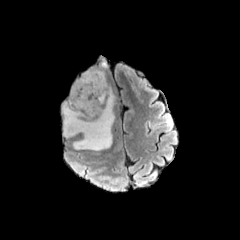
FLAIR magnetic resonance.
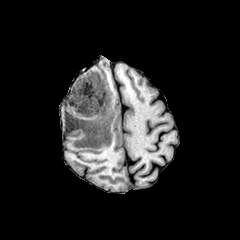
T1-weighted MR.
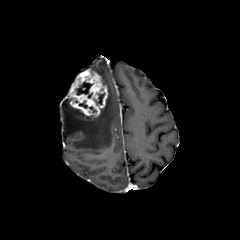
Same slice, post-contrast T1-weighted MR.
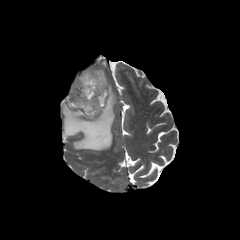
T2-weighted magnetic resonance.
Head
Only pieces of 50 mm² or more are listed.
The 2 largest peritumoral edema regions are bounded by x1=95 y1=71 x2=106 y2=84, x1=62 y1=89 x2=114 y2=150. The largest enhancing tumor region appears at x1=68 y1=69 x2=107 y2=116. The largest necrotic tumor core region appears at x1=76 y1=82 x2=92 y2=95.